Axial plane | 240x240 | Head
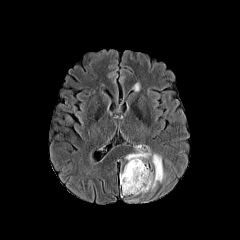
FLAIR magnetic resonance.
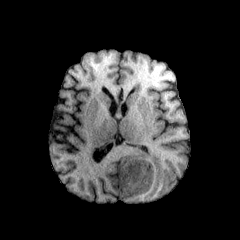
Same slice, T1-weighted MR image.
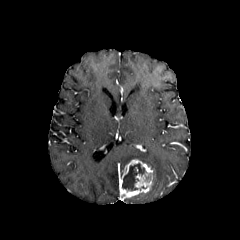
Same slice, post-contrast T1-weighted MR image.
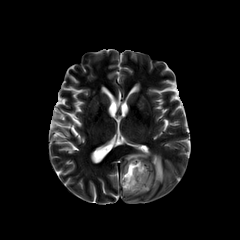
T2-weighted MRI.
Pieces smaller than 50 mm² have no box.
The largest enhancing tumor region is bounded by (x1=120, y1=159, x2=154, y2=197). The largest necrotic tumor core region lies within (x1=122, y1=163, x2=144, y2=190). The largest peritumoral edema region lies within (x1=125, y1=149, x2=165, y2=190).